FLAIR MR.
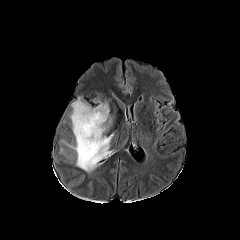
T1-weighted MRI.
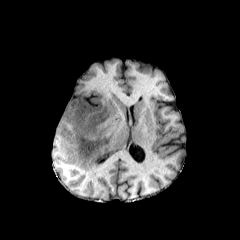
Post-contrast T1-weighted MR.
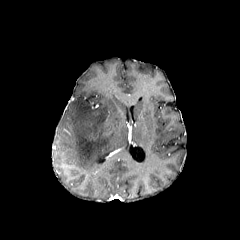
T2-weighted magnetic resonance.
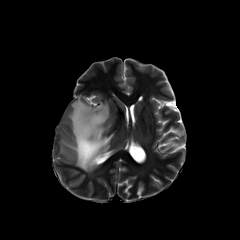
Axial slice | 240x240 | Head
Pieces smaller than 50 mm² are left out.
peritumoral edema: region(61, 97, 118, 172)